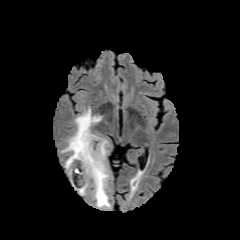
FLAIR magnetic resonance.
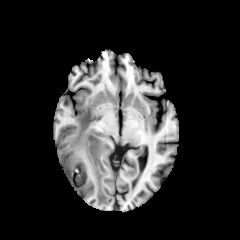
T1-weighted magnetic resonance.
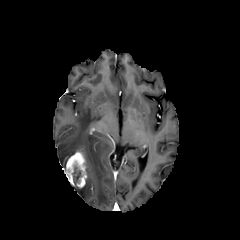
Post-contrast T1-weighted MRI.
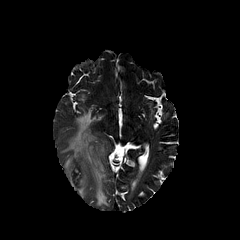
T2-weighted MR image.
Axial view | Brain | 240x240
necrotic tumor core: bounding box x1=69 y1=161 x2=83 y2=184
peritumoral edema: bounding box x1=61 y1=108 x2=110 y2=207
enhancing tumor: bounding box x1=64 y1=151 x2=87 y2=188